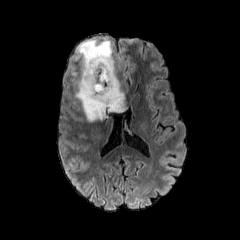
FLAIR MRI.
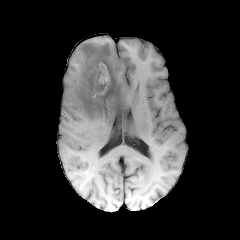
Same slice, T1-weighted MR.
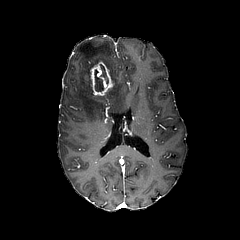
Post-contrast T1-weighted MR image of the same slice.
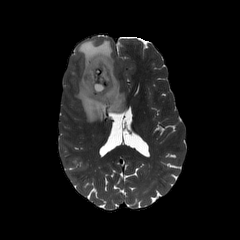
T2-weighted MRI.
240x240 px. Axial view.
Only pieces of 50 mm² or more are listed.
necrotic tumor core at (left=94, top=65, right=108, bottom=91)
enhancing tumor at (left=89, top=61, right=114, bottom=96)
peritumoral edema at (left=75, top=39, right=124, bottom=121)